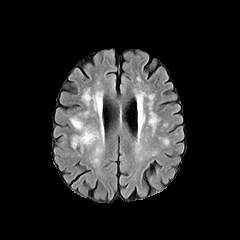
FLAIR MRI.
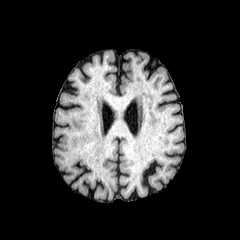
T1-weighted magnetic resonance.
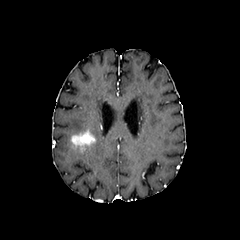
Same slice, post-contrast T1-weighted MRI.
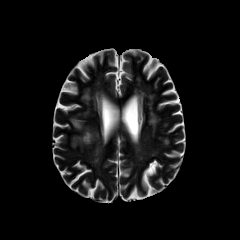
T2-weighted magnetic resonance of the same slice.
Axial plane | Brain
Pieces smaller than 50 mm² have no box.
peritumoral edema = 70 116 103 147
enhancing tumor = 71 129 95 151